Image width 240 mm, 1.00 mm slice spacing. Axial view. 240x240.
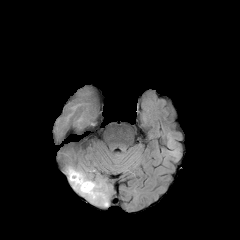
FLAIR MR.
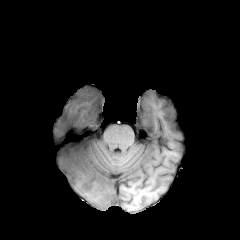
T1-weighted MR.
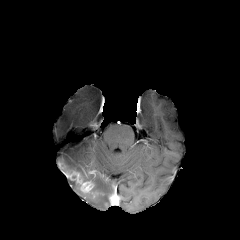
Post-contrast T1-weighted MR.
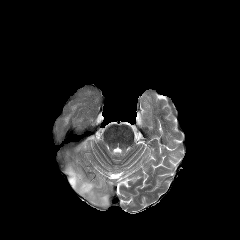
T2-weighted MRI.
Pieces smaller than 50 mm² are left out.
enhancing_tumor:
  - x1=64, y1=170, x2=94, y2=193
peritumoral_edema:
  - x1=64, y1=165, x2=108, y2=206